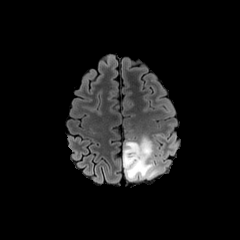
FLAIR magnetic resonance.
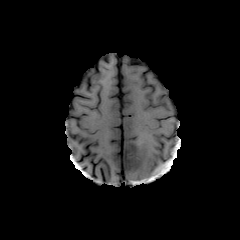
T1-weighted MR of the same slice.
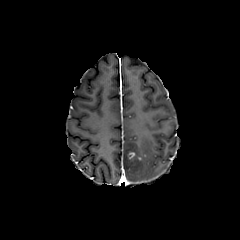
Same slice, post-contrast T1-weighted magnetic resonance.
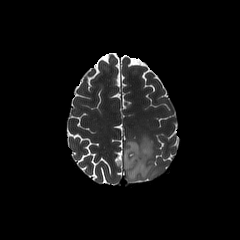
T2-weighted MR image.
240x240. Head. Axial slice.
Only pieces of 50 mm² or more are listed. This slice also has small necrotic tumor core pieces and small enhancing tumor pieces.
The peritumoral edema appears at bbox(123, 135, 165, 182).